Image width 240 mm, 1.00 mm slice spacing; Head
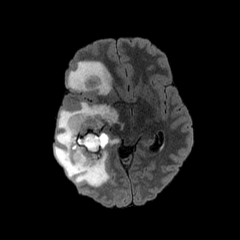
FLAIR magnetic resonance.
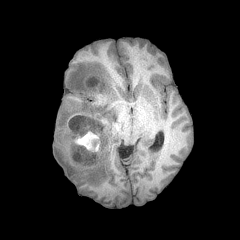
T1-weighted magnetic resonance.
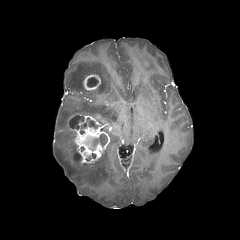
Post-contrast T1-weighted magnetic resonance of the same slice.
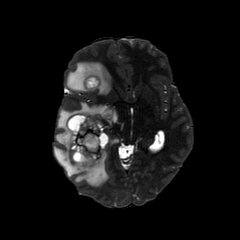
T2-weighted MR.
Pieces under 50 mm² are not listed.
The 3 largest peritumoral edema regions are bounded by x1=67 y1=61 x2=111 y2=94, x1=109 y1=138 x2=118 y2=145, x1=54 y1=101 x2=119 y2=187. The 4 largest necrotic tumor core regions are bounded by x1=87 y1=77 x2=98 y2=87, x1=69 y1=116 x2=84 y2=129, x1=79 y1=134 x2=107 y2=149, x1=81 y1=118 x2=97 y2=128. The 2 largest enhancing tumor regions are located at x1=68 y1=114 x2=109 y2=163, x1=83 y1=74 x2=100 y2=90.